Image width 240 mm; Slice index 99
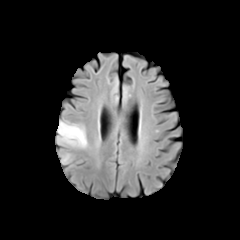
FLAIR MR.
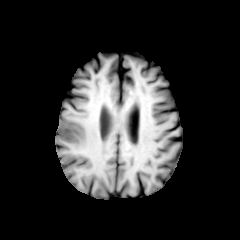
T1-weighted MR of the same slice.
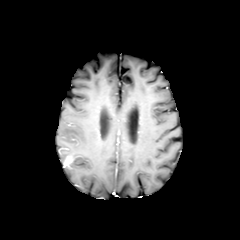
Post-contrast T1-weighted magnetic resonance.
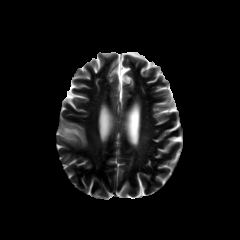
Same slice, T2-weighted MR image.
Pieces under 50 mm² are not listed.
enhancing tumor — {"x1": 64, "y1": 156, "x2": 72, "y2": 166}
peritumoral edema — {"x1": 57, "y1": 119, "x2": 87, "y2": 148}